FLAIR MR image.
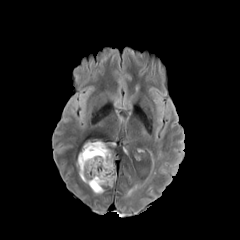
T1-weighted magnetic resonance.
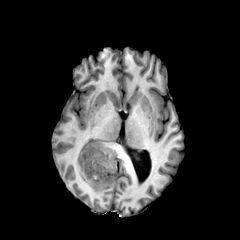
Post-contrast T1-weighted MRI.
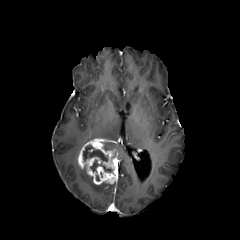
T2-weighted MR image.
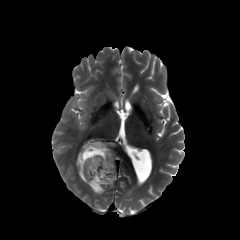
Image size 240x240, Brain
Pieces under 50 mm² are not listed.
<segmentation>
  <enhancing_tumor>l=78, t=139, r=117, b=184</enhancing_tumor>
  <peritumoral_edema>l=79, t=167, r=106, b=193</peritumoral_edema>
  <necrotic_tumor_core>l=90, t=160, r=112, b=172; l=83, t=145, r=107, b=161</necrotic_tumor_core>
</segmentation>